Slice index 80 | Brain | Axial plane | 240x240 px
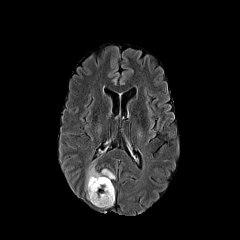
FLAIR MR.
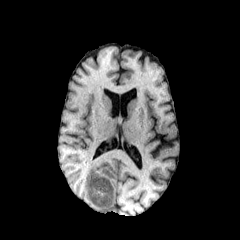
T1-weighted MR.
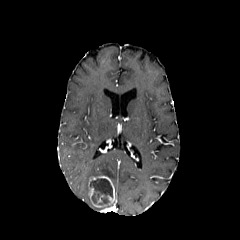
Same slice, post-contrast T1-weighted MR image.
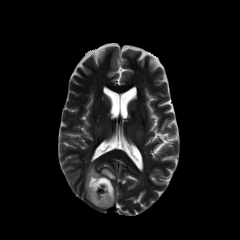
T2-weighted magnetic resonance of the same slice.
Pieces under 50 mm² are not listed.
necrotic tumor core at bbox=[90, 178, 112, 204]
enhancing tumor at bbox=[88, 176, 114, 208]
peritumoral edema at bbox=[85, 164, 115, 200]